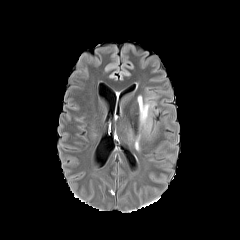
FLAIR magnetic resonance.
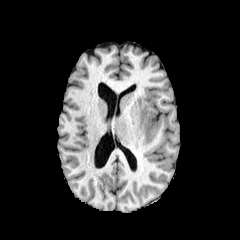
T1-weighted magnetic resonance of the same slice.
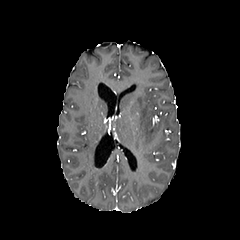
Post-contrast T1-weighted magnetic resonance.
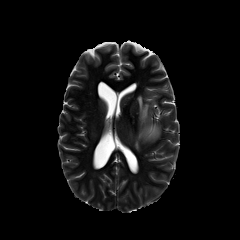
T2-weighted MR image.
Head. 240x240 px.
Annotated regions:
• peritumoral edema: left=128, top=88, right=157, bottom=149